FLAIR MRI.
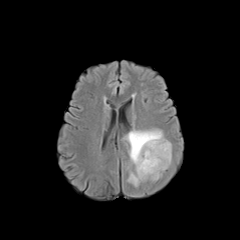
T1-weighted MRI.
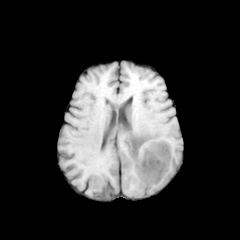
Post-contrast T1-weighted MRI.
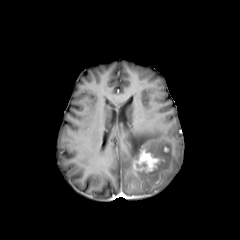
T2-weighted MRI.
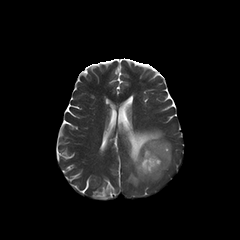
240x240 px
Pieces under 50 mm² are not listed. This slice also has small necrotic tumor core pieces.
Annotated regions:
* enhancing tumor: {"x1": 134, "y1": 149, "x2": 159, "y2": 171}
* peritumoral edema: {"x1": 124, "y1": 129, "x2": 171, "y2": 186}